240x240
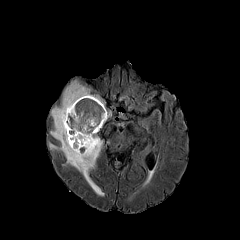
FLAIR MR.
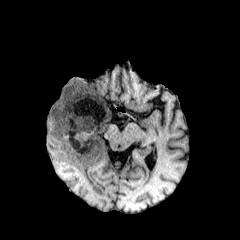
Same slice, T1-weighted MR.
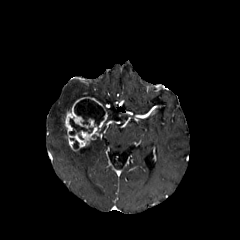
Post-contrast T1-weighted MR.
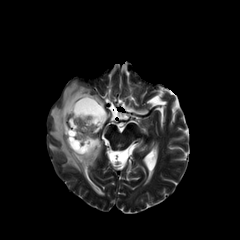
T2-weighted MR image.
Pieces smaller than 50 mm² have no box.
<segmentation>
  <necrotic_tumor_core><bbox>70, 138, 78, 148</bbox>, <bbox>74, 99, 105, 125</bbox>, <bbox>69, 118, 92, 135</bbox></necrotic_tumor_core>
  <peritumoral_edema><bbox>49, 80, 104, 195</bbox></peritumoral_edema>
  <enhancing_tumor><bbox>64, 97, 107, 151</bbox></enhancing_tumor>
</segmentation>